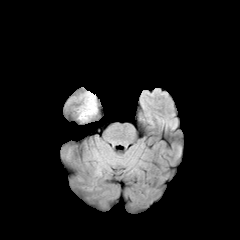
FLAIR MR.
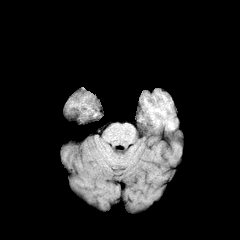
T1-weighted MR.
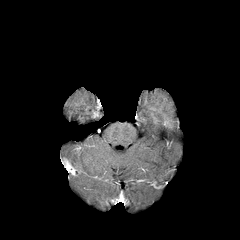
Post-contrast T1-weighted MRI.
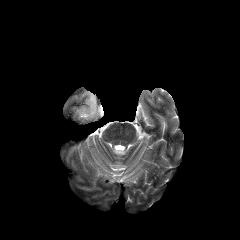
T2-weighted magnetic resonance.
Brain | Axial slice
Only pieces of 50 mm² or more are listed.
The largest peritumoral edema region lies within (78, 91, 97, 120).